Axial plane
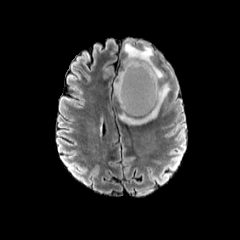
FLAIR MR.
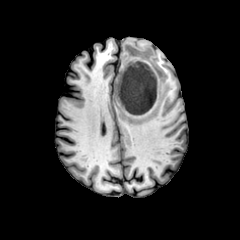
T1-weighted MR.
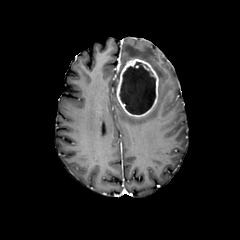
Post-contrast T1-weighted MR of the same slice.
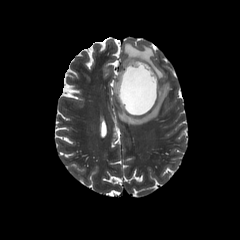
T2-weighted MRI.
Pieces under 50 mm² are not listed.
enhancing tumor — <box>116,58,158,117</box>
necrotic tumor core — <box>120,62,155,114</box>
peritumoral edema — <box>124,42,163,80</box>, <box>119,83,169,124</box>